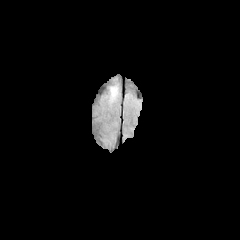
FLAIR MR.
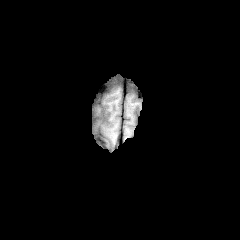
T1-weighted MRI.
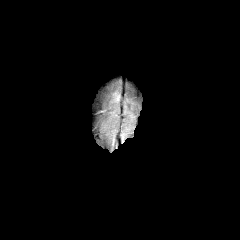
Post-contrast T1-weighted magnetic resonance of the same slice.
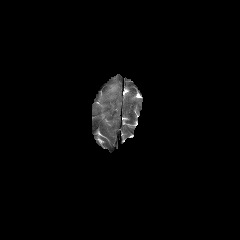
Same slice, T2-weighted magnetic resonance.
Axial slice.
<segmentation>
  <peritumoral_edema>111,87,115,98</peritumoral_edema>
</segmentation>